FLAIR magnetic resonance.
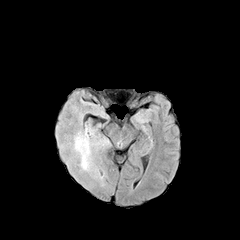
T1-weighted magnetic resonance.
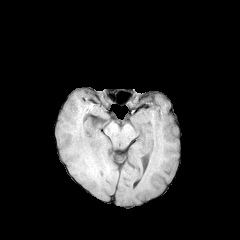
Post-contrast T1-weighted magnetic resonance.
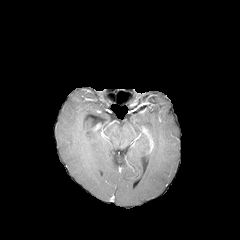
T2-weighted magnetic resonance.
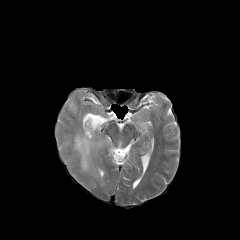
Axial slice; Brain
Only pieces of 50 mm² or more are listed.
* peritumoral edema: bbox(72, 123, 107, 181)